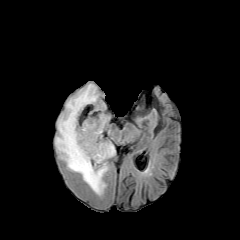
FLAIR MR.
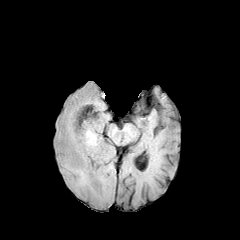
T1-weighted magnetic resonance.
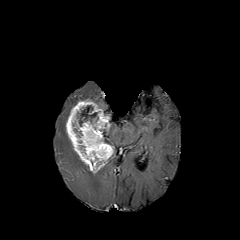
Same slice, post-contrast T1-weighted MRI.
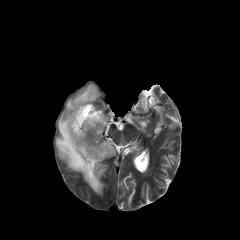
T2-weighted MR.
Axial view | Head
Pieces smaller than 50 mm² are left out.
The largest peritumoral edema region is located at 55,83,108,195. The largest necrotic tumor core region lies within 77,105,97,126. The enhancing tumor appears at 66,99,113,173.